FLAIR MR.
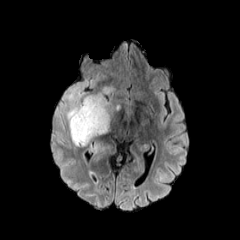
T1-weighted MR image.
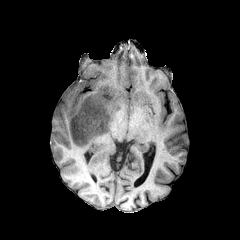
Post-contrast T1-weighted MR.
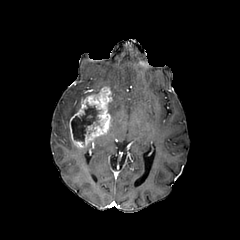
T2-weighted MR.
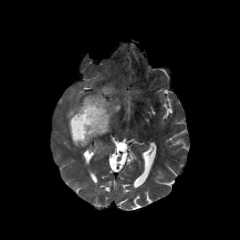
Axial slice.
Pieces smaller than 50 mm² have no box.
{
  "necrotic_tumor_core": [
    "(left=71, top=104, right=97, bottom=142)"
  ],
  "peritumoral_edema": [
    "(left=109, top=101, right=120, bottom=120)",
    "(left=53, top=78, right=101, bottom=134)",
    "(left=88, top=139, right=104, bottom=151)"
  ],
  "enhancing_tumor": [
    "(left=69, top=86, right=112, bottom=148)"
  ]
}